240x240 px, Brain, Axial plane
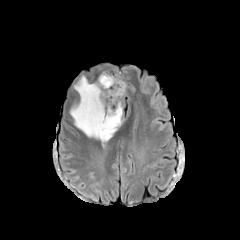
FLAIR MRI.
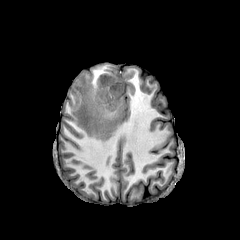
T1-weighted MRI.
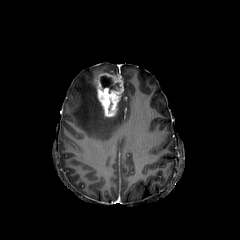
Post-contrast T1-weighted magnetic resonance of the same slice.
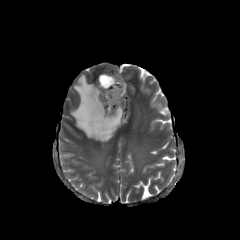
T2-weighted MRI.
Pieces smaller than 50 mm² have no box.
The necrotic tumor core is bounded by <bbox>100, 76, 119, 92</bbox>. The largest peritumoral edema region is bounded by <bbox>70, 75, 123, 142</bbox>. The enhancing tumor is at <bbox>96, 73, 124, 116</bbox>.